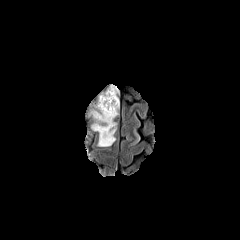
FLAIR MR.
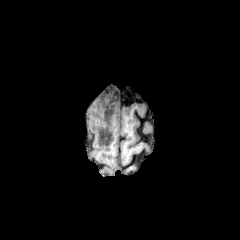
T1-weighted MR image of the same slice.
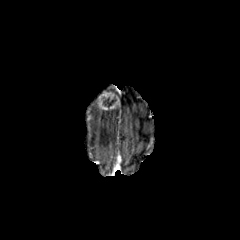
Post-contrast T1-weighted MR.
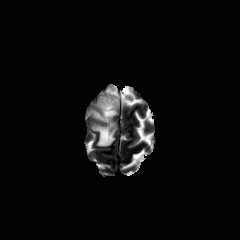
Same slice, T2-weighted magnetic resonance.
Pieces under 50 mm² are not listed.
Segmented structures:
- enhancing tumor: (97, 91, 119, 110)
- peritumoral edema: (91, 108, 118, 146)
- necrotic tumor core: (103, 96, 116, 107)